Brain; Axial view
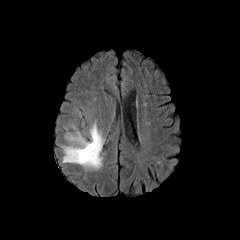
FLAIR MR image.
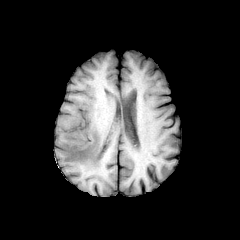
T1-weighted MR of the same slice.
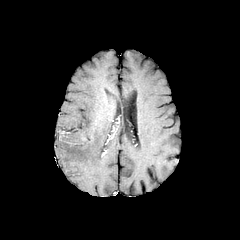
Same slice, post-contrast T1-weighted magnetic resonance.
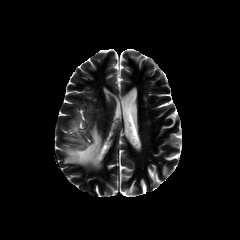
T2-weighted magnetic resonance.
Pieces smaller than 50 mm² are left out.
The largest peritumoral edema region is located at 62:122:104:169.